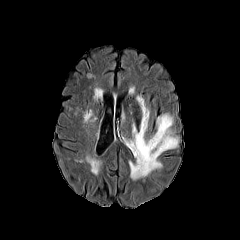
FLAIR MR.
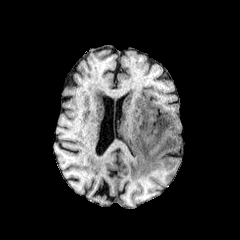
T1-weighted magnetic resonance.
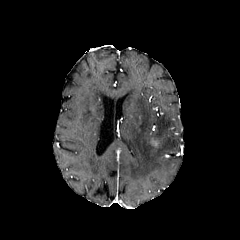
Post-contrast T1-weighted MRI of the same slice.
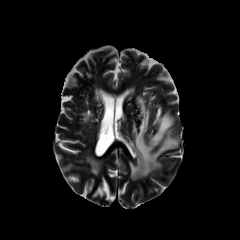
T2-weighted MRI of the same slice.
Head
• peritumoral edema: (left=125, top=96, right=178, bottom=179)
• enhancing tumor: (left=150, top=137, right=160, bottom=147)